Slice 33 of 155; Axial view
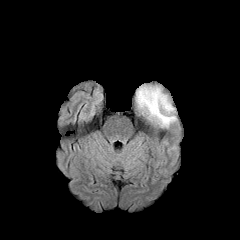
FLAIR magnetic resonance.
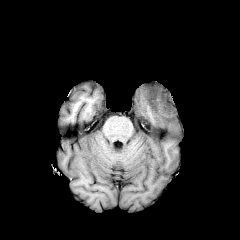
T1-weighted MR image.
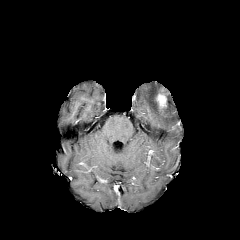
Post-contrast T1-weighted MR image of the same slice.
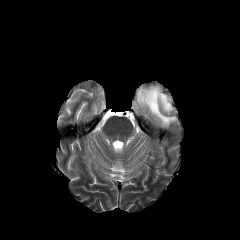
Same slice, T2-weighted MR image.
<segmentation>
  <peritumoral_edema>x1=136 y1=85 x2=176 y2=127</peritumoral_edema>
  <enhancing_tumor>x1=156 y1=91 x2=166 y2=107</enhancing_tumor>
</segmentation>